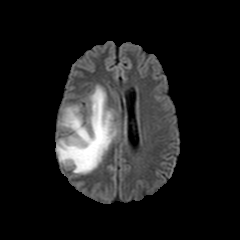
FLAIR MRI.
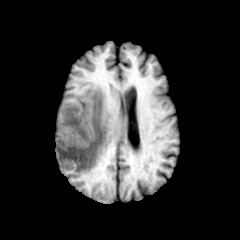
Same slice, T1-weighted MRI.
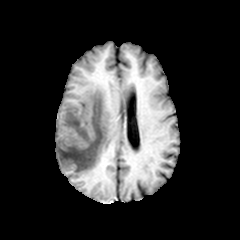
Same slice, post-contrast T1-weighted MR.
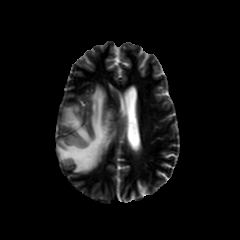
T2-weighted MR.
240x240
peritumoral edema: bounding box [56,85,116,173]